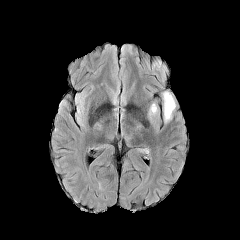
FLAIR magnetic resonance.
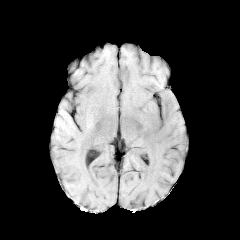
T1-weighted magnetic resonance.
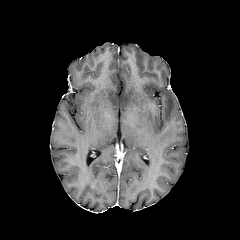
Post-contrast T1-weighted MR.
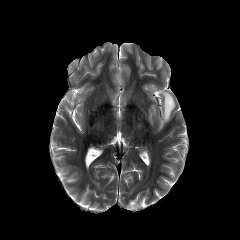
T2-weighted MR image.
Brain. Image size 240x240.
peritumoral edema = [148,103,157,123], [162,91,175,122]